240x240 px; Slice 122 of 155
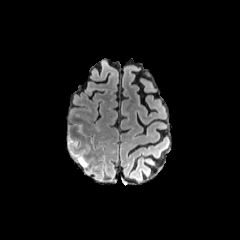
FLAIR MRI.
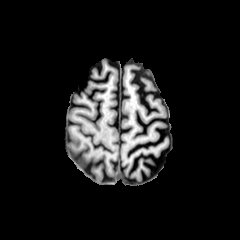
T1-weighted magnetic resonance.
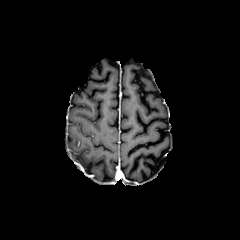
Post-contrast T1-weighted magnetic resonance.
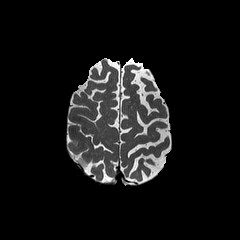
T2-weighted MR of the same slice.
The peritumoral edema is at bbox(79, 157, 88, 167).